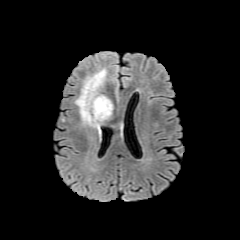
FLAIR MR.
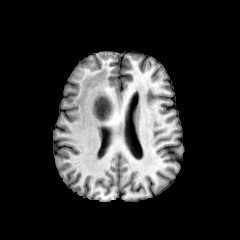
T1-weighted MR.
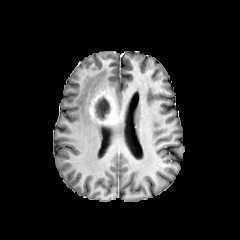
Post-contrast T1-weighted magnetic resonance.
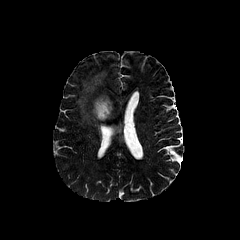
T2-weighted magnetic resonance.
Head
peritumoral edema — rect(75, 68, 107, 134)
enhancing tumor — rect(89, 91, 114, 123)
necrotic tumor core — rect(95, 97, 110, 119)